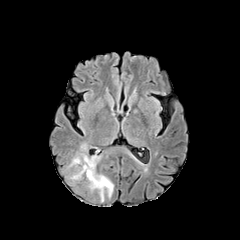
FLAIR MR.
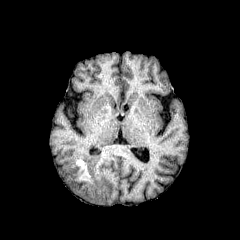
T1-weighted magnetic resonance of the same slice.
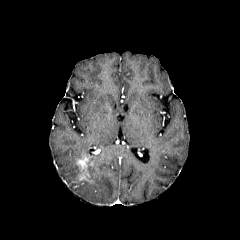
Post-contrast T1-weighted MR image.
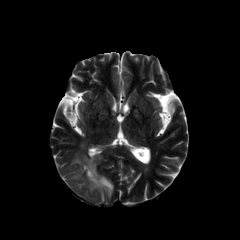
Same slice, T2-weighted MRI.
Image size 240x240 | Head
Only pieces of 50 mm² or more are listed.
enhancing_tumor:
  - box=[78, 166, 86, 179]
  - box=[79, 156, 94, 167]
peritumoral_edema:
  - box=[87, 156, 113, 201]